FLAIR MR.
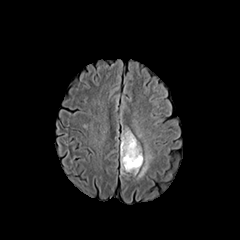
T1-weighted MRI.
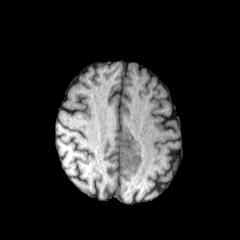
Post-contrast T1-weighted MR image.
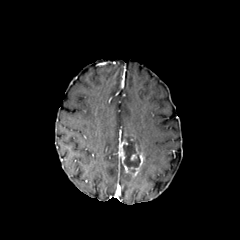
T2-weighted MRI.
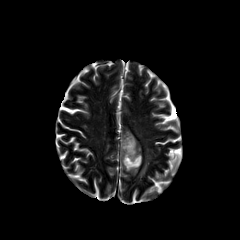
Axial slice
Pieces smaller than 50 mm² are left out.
The largest necrotic tumor core region is bounded by [123, 137, 140, 167]. The largest enhancing tumor region is located at [119, 138, 143, 176]. The 2 largest peritumoral edema regions are bounded by [121, 128, 141, 152], [138, 147, 151, 178].